FLAIR magnetic resonance.
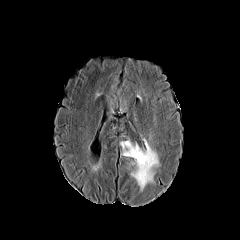
T1-weighted MR image.
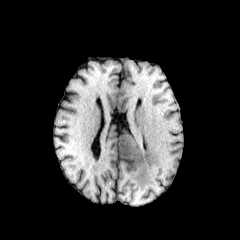
Post-contrast T1-weighted magnetic resonance.
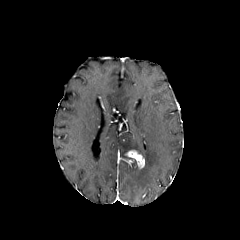
T2-weighted MRI.
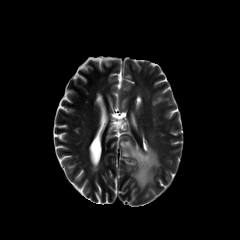
Axial plane. 240x240 px.
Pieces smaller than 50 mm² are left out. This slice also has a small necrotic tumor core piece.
The peritumoral edema appears at region(120, 139, 159, 190). The enhancing tumor lies within region(125, 150, 144, 168).